Axial slice; Brain; Slice 33 of 155
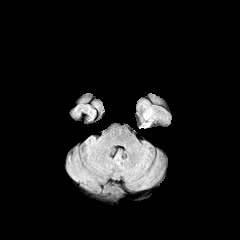
FLAIR MR image.
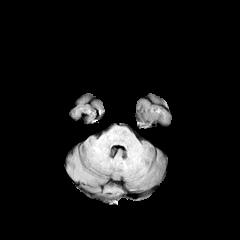
T1-weighted magnetic resonance.
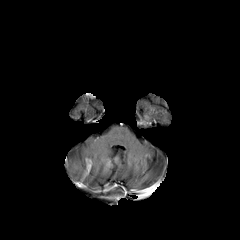
Post-contrast T1-weighted MR image.
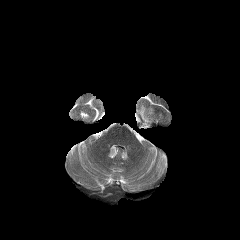
T2-weighted MRI.
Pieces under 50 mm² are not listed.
Findings:
• enhancing tumor: <box>141,115,150,125</box>
• peritumoral edema: <box>141,105,155,122</box>